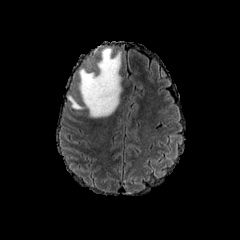
FLAIR MRI.
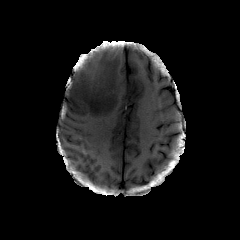
T1-weighted MR of the same slice.
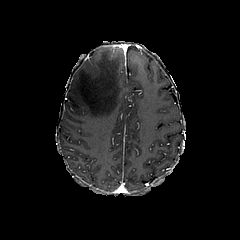
Same slice, post-contrast T1-weighted MR.
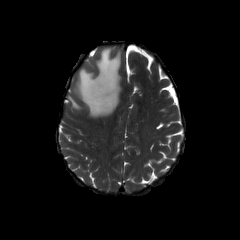
T2-weighted magnetic resonance.
Brain, 240x240
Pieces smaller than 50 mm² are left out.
Segmented structures:
* peritumoral edema: 68,47,121,117